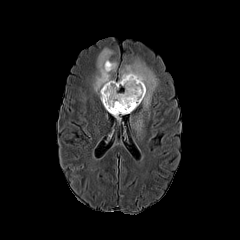
FLAIR magnetic resonance.
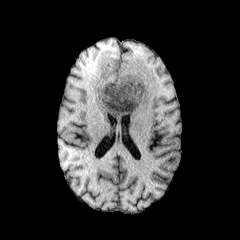
Same slice, T1-weighted MR.
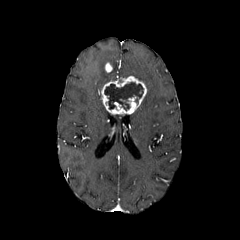
Post-contrast T1-weighted magnetic resonance.
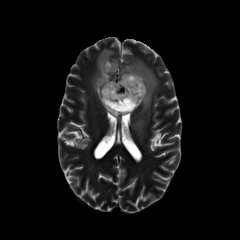
Same slice, T2-weighted MRI.
Brain. 240x240.
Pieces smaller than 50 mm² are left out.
<segmentation>
  <enhancing_tumor><box>105,62,112,72</box>, <box>100,75,147,114</box></enhancing_tumor>
  <peritumoral_edema><box>133,112,143,133</box>, <box>93,48,117,99</box>, <box>118,59,157,111</box></peritumoral_edema>
  <necrotic_tumor_core><box>104,82,143,110</box></necrotic_tumor_core>
</segmentation>